Slice 119 of 155. Image size 240x240. Axial view.
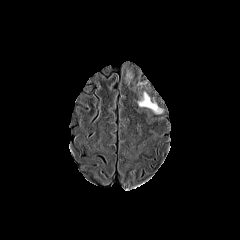
FLAIR magnetic resonance.
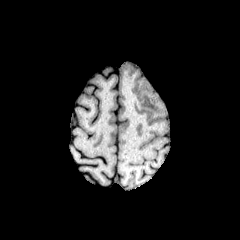
T1-weighted MR of the same slice.
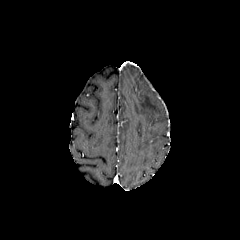
Same slice, post-contrast T1-weighted MR image.
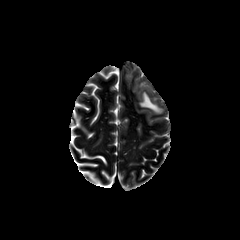
Same slice, T2-weighted MR image.
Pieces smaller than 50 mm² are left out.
peritumoral edema = x1=138 y1=92 x2=162 y2=113